Slice 65 of 155, Image width 240 mm
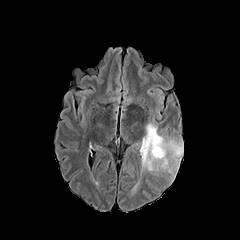
FLAIR magnetic resonance.
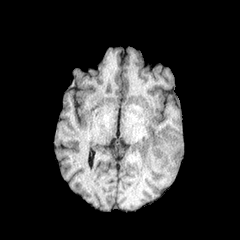
T1-weighted MRI of the same slice.
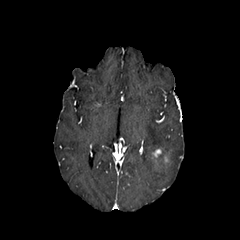
Post-contrast T1-weighted MRI.
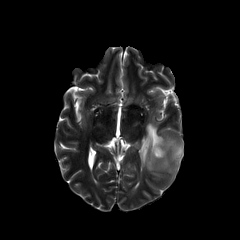
T2-weighted MRI.
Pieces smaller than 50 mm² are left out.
{
  "peritumoral_edema": [
    "<bbox>141, 123, 183, 173</bbox>"
  ],
  "enhancing_tumor": [
    "<bbox>152, 148, 161, 157</bbox>"
  ]
}